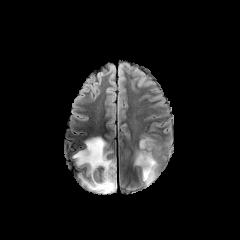
FLAIR MR.
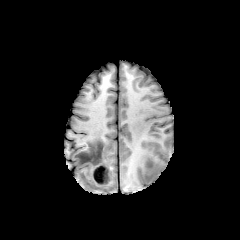
T1-weighted MR image of the same slice.
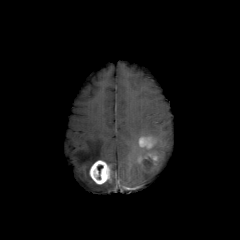
Post-contrast T1-weighted magnetic resonance of the same slice.
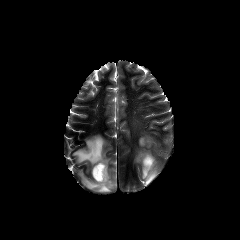
Same slice, T2-weighted MR.
Head.
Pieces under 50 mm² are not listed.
<segmentation>
  <peritumoral_edema>142 162 159 185, 73 136 116 193, 135 143 157 166</peritumoral_edema>
  <necrotic_tumor_core>141 157 154 170</necrotic_tumor_core>
  <enhancing_tumor>139 137 155 148, 138 154 158 173, 89 160 111 184</enhancing_tumor>
</segmentation>